Axial slice. Slice 59 of 155.
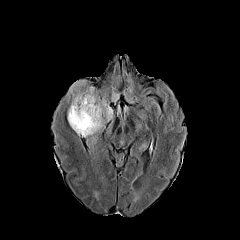
FLAIR MRI.
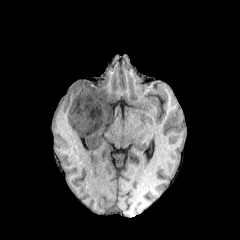
Same slice, T1-weighted magnetic resonance.
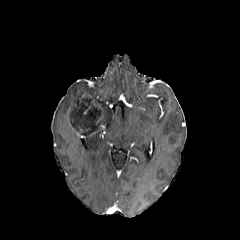
Post-contrast T1-weighted MR image.
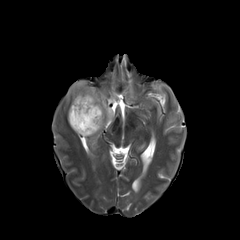
T2-weighted MR image.
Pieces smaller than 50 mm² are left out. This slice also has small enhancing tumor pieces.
The 2 largest peritumoral edema regions appear at (left=111, top=87, right=120, bottom=101), (left=67, top=82, right=113, bottom=124). The largest necrotic tumor core region appears at (left=70, top=95, right=103, bottom=135).